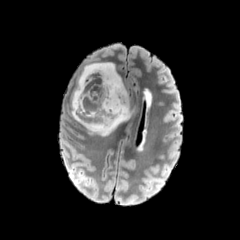
FLAIR MR.
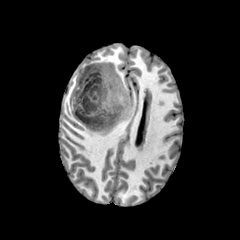
T1-weighted MR.
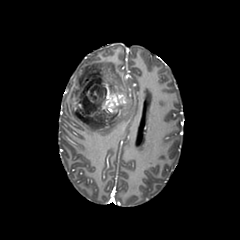
Post-contrast T1-weighted magnetic resonance.
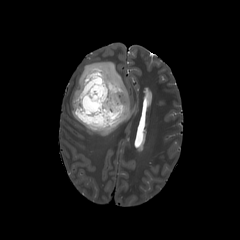
T2-weighted MR image.
240x240; Head
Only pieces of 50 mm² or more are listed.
The largest necrotic tumor core region is bounded by [75, 73, 106, 124]. The largest enhancing tumor region is located at [73, 71, 127, 125]. The peritumoral edema is located at [71, 62, 133, 136].